Head.
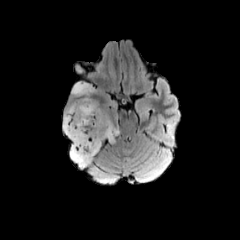
FLAIR MR image.
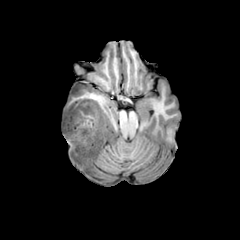
Same slice, T1-weighted magnetic resonance.
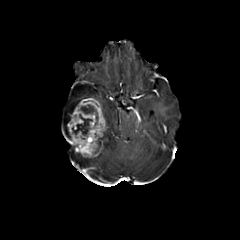
Same slice, post-contrast T1-weighted MR.
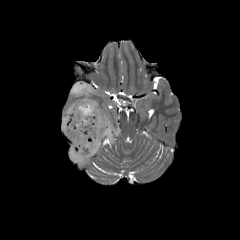
Same slice, T2-weighted magnetic resonance.
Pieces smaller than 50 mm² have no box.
<segmentation>
  <enhancing_tumor><bbox>67, 98, 107, 157</bbox></enhancing_tumor>
  <peritumoral_edema><bbox>104, 115, 112, 140</bbox>, <bbox>64, 103, 77, 139</bbox>, <bbox>72, 82, 94, 97</bbox>, <bbox>70, 146, 91, 166</bbox></peritumoral_edema>
  <necrotic_tumor_core><bbox>72, 115, 91, 134</bbox>, <bbox>81, 105, 94, 113</bbox></necrotic_tumor_core>
</segmentation>